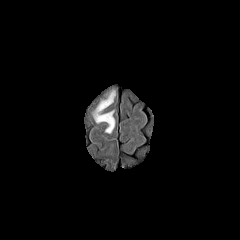
FLAIR MR image.
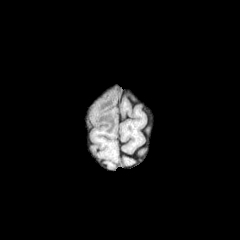
Same slice, T1-weighted magnetic resonance.
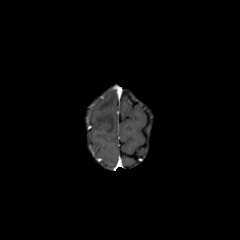
Post-contrast T1-weighted magnetic resonance.
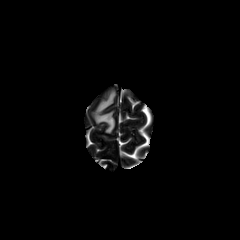
T2-weighted MR image of the same slice.
Axial slice
peritumoral_edema:
  - 93:91:115:133